FLAIR MR.
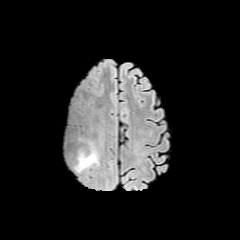
T1-weighted magnetic resonance.
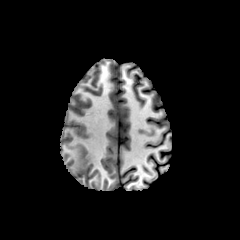
Post-contrast T1-weighted MRI.
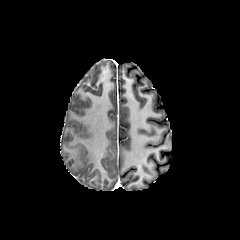
T2-weighted magnetic resonance.
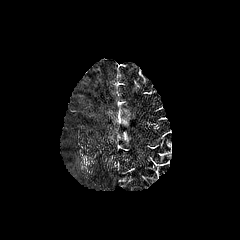
peritumoral edema — (76, 144, 101, 171)